FLAIR magnetic resonance.
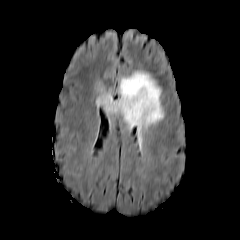
T1-weighted MRI.
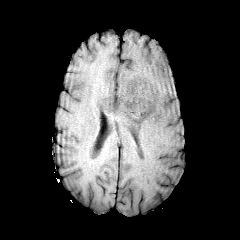
Post-contrast T1-weighted magnetic resonance.
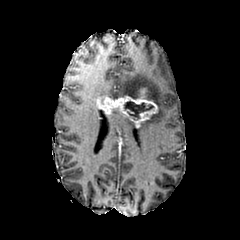
T2-weighted MR image.
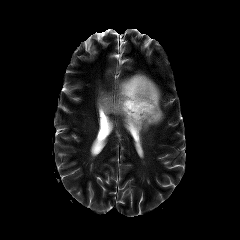
Brain. Axial slice.
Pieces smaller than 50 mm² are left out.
<segmentation>
  <peritumoral_edema>box(122, 116, 135, 128); box(118, 71, 163, 142); box(97, 92, 112, 98)</peritumoral_edema>
  <necrotic_tumor_core>box(124, 101, 153, 119)</necrotic_tumor_core>
  <enhancing_tumor>box(97, 88, 157, 127)</enhancing_tumor>
</segmentation>